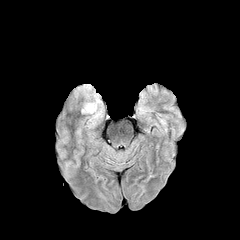
FLAIR MR.
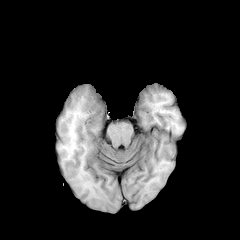
T1-weighted MR image of the same slice.
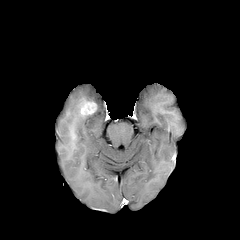
Post-contrast T1-weighted MR image of the same slice.
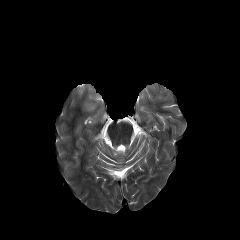
T2-weighted magnetic resonance.
Axial slice; Brain; 240x240 px
The enhancing tumor lies within left=80, top=101, right=96, bottom=116.